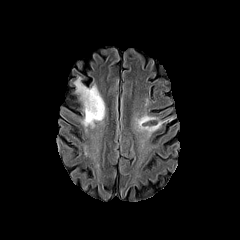
FLAIR MR image.
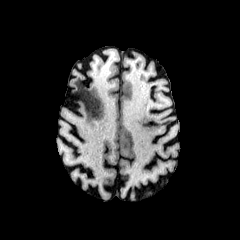
T1-weighted MR.
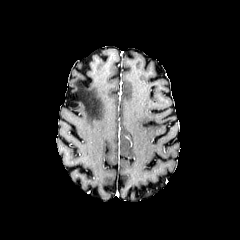
Post-contrast T1-weighted MR image.
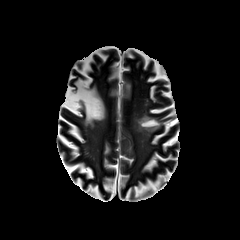
Same slice, T2-weighted MR image.
Image size 240x240; Brain; Axial plane
peritumoral edema at 134, 116, 162, 135; 73, 77, 104, 128